FLAIR MR image.
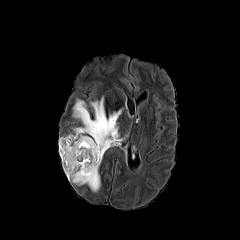
T1-weighted MR.
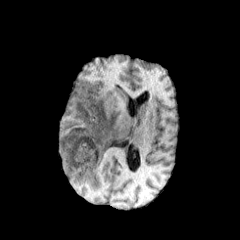
Post-contrast T1-weighted magnetic resonance.
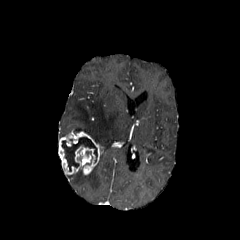
T2-weighted MRI.
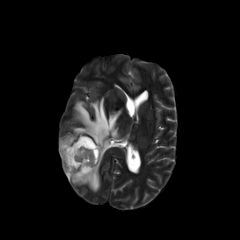
Axial view
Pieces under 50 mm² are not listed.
{
  "necrotic_tumor_core": [
    "(x1=62, y1=137, x2=97, y2=171)"
  ],
  "peritumoral_edema": [
    "(x1=67, y1=153, x2=103, y2=191)",
    "(x1=72, y1=96, x2=125, y2=152)"
  ],
  "enhancing_tumor": [
    "(x1=58, y1=131, x2=104, y2=175)"
  ]
}